Head; Image width 240 mm
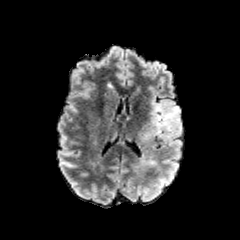
FLAIR MR image.
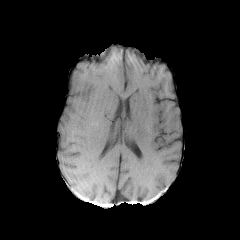
T1-weighted MR image.
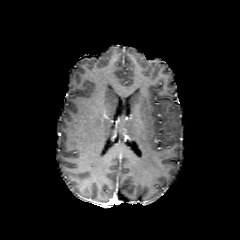
Post-contrast T1-weighted MR.
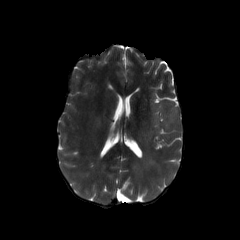
T2-weighted MRI of the same slice.
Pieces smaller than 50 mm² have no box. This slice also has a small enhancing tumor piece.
peritumoral edema: box=[138, 100, 182, 143]; box=[137, 155, 157, 172]